FLAIR MR image.
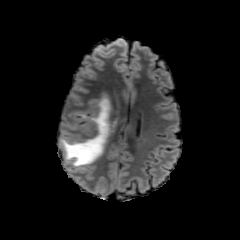
T1-weighted MR image.
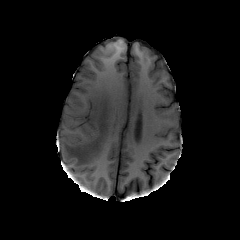
Post-contrast T1-weighted MR image.
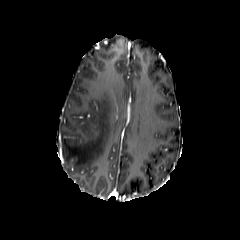
T2-weighted MR image.
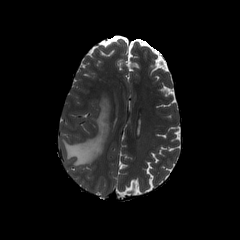
240x240.
peritumoral edema at [61, 95, 110, 167]